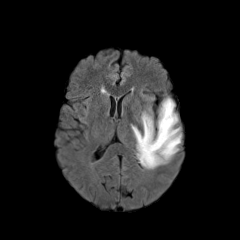
FLAIR MRI.
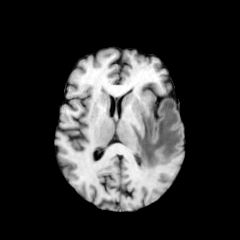
Same slice, T1-weighted magnetic resonance.
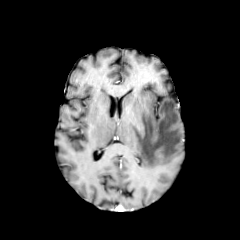
Post-contrast T1-weighted magnetic resonance.
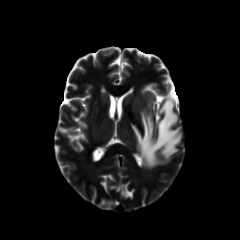
T2-weighted MR of the same slice.
Head; Axial plane
Annotated regions:
- peritumoral edema: 133, 98, 181, 166